FLAIR MR image.
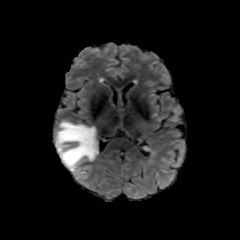
T1-weighted MR.
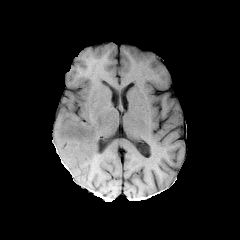
Post-contrast T1-weighted MR.
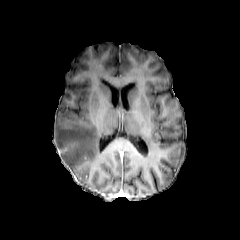
T2-weighted MR.
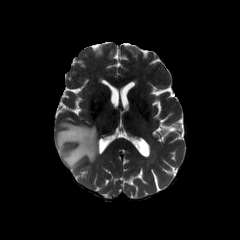
Head.
peritumoral edema — region(55, 121, 98, 178)